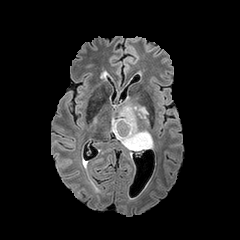
FLAIR MR.
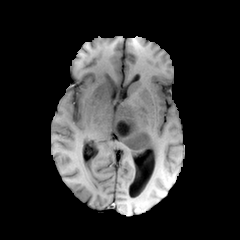
T1-weighted MRI of the same slice.
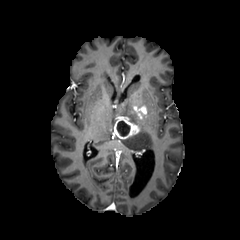
Post-contrast T1-weighted MR.
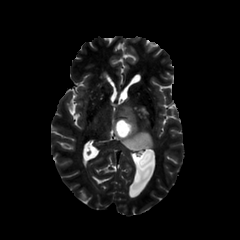
T2-weighted MR image of the same slice.
240x240 | Axial view | Brain
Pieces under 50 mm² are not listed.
The necrotic tumor core is at (117, 120, 130, 136). The peritumoral edema appears at (113, 99, 152, 150). The 2 largest enhancing tumor regions appear at (134, 106, 146, 114), (115, 116, 138, 138).